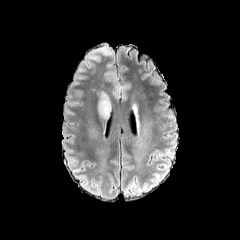
FLAIR MR.
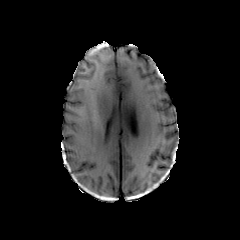
Same slice, T1-weighted magnetic resonance.
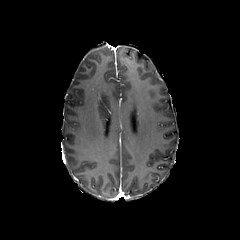
Post-contrast T1-weighted magnetic resonance.
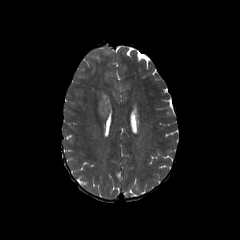
T2-weighted MRI.
240x240 px, Head
The peritumoral edema lies within 98,91,110,118.